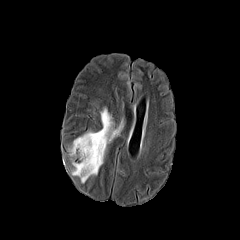
FLAIR MR image.
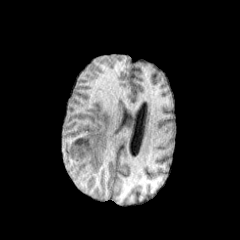
T1-weighted MR image.
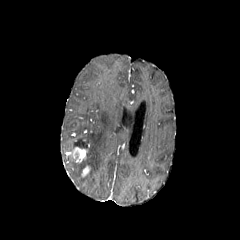
Post-contrast T1-weighted MRI of the same slice.
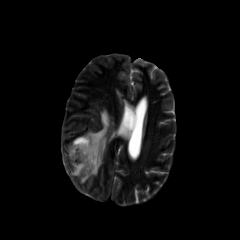
T2-weighted MRI.
Head; Image size 240x240; Axial slice
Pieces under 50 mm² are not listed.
peritumoral edema: bounding box (68,105,125,182)
enhancing tumor: bounding box (68,147,87,162), (82,166,89,176)